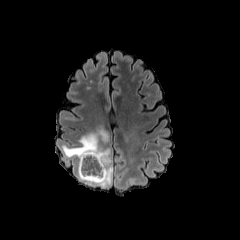
FLAIR magnetic resonance.
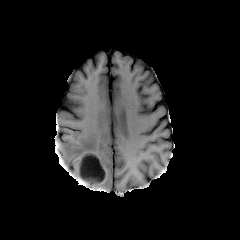
T1-weighted magnetic resonance.
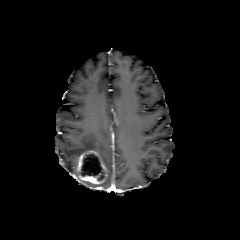
Post-contrast T1-weighted MRI.
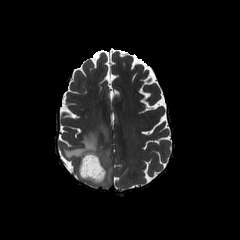
T2-weighted magnetic resonance.
Head | Axial view
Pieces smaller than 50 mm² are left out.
Findings:
• enhancing tumor: (x1=77, y1=150, x2=106, y2=183)
• peritumoral edema: (x1=63, y1=126, x2=112, y2=187)
• necrotic tumor core: (x1=80, y1=153, x2=104, y2=180)